FLAIR MRI.
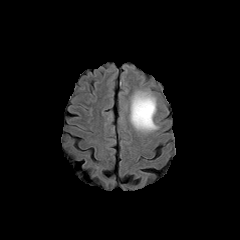
T1-weighted MRI.
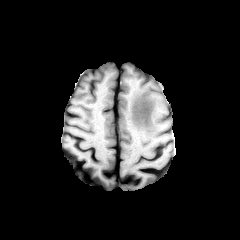
Post-contrast T1-weighted MRI.
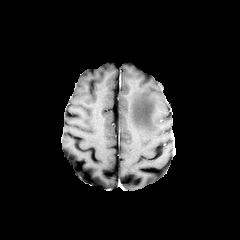
T2-weighted MRI.
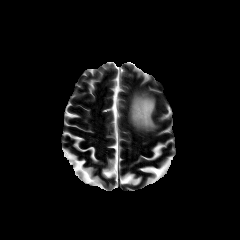
Brain
• peritumoral edema: {"x1": 130, "y1": 91, "x2": 158, "y2": 131}